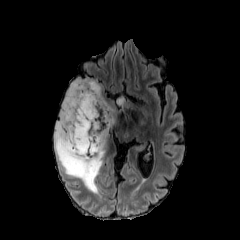
FLAIR MR.
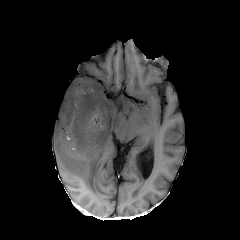
T1-weighted magnetic resonance of the same slice.
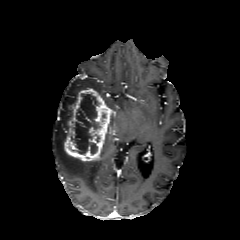
Post-contrast T1-weighted magnetic resonance.
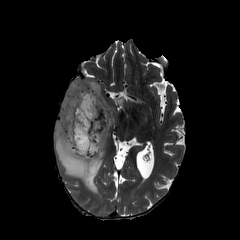
Same slice, T2-weighted MRI.
Axial slice. Image size 240x240.
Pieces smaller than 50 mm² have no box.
{
  "necrotic_tumor_core": [
    {"x1": 71, "y1": 94, "x2": 100, "y2": 153}
  ],
  "peritumoral_edema": [
    {"x1": 117, "y1": 96, "x2": 124, "y2": 105},
    {"x1": 54, "y1": 79, "x2": 108, "y2": 194}
  ],
  "enhancing_tumor": [
    {"x1": 64, "y1": 88, "x2": 115, "y2": 161}
  ]
}